Brain, Slice index 74
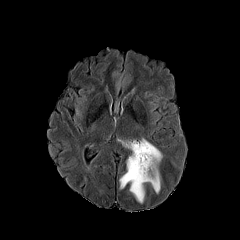
FLAIR magnetic resonance.
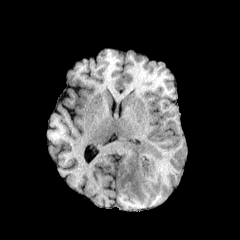
T1-weighted MR image.
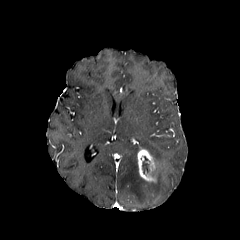
Same slice, post-contrast T1-weighted MR image.
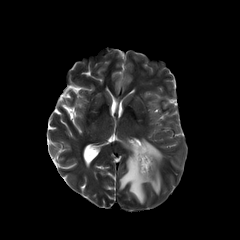
Same slice, T2-weighted magnetic resonance.
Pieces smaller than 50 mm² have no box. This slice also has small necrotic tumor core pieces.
The enhancing tumor is at (137,147,157,182). 2 peritumoral edema regions are bounded by (119,138,162,203), (150,168,160,193).